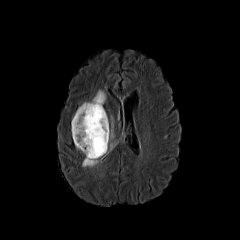
FLAIR MRI.
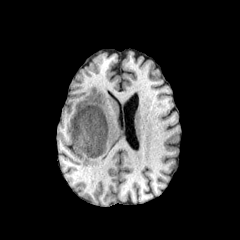
T1-weighted MR image of the same slice.
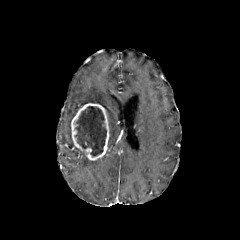
Post-contrast T1-weighted MRI.
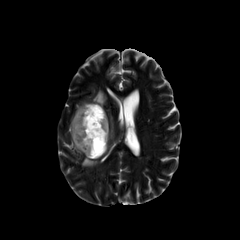
T2-weighted MRI of the same slice.
Head, Axial slice, 240x240 px
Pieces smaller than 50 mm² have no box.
Segmented structures:
• enhancing tumor: l=71, t=103, r=109, b=160
• necrotic tumor core: l=75, t=106, r=106, b=156
• peritumoral edema: l=108, t=116, r=114, b=149; l=82, t=155, r=104, b=167; l=83, t=90, r=106, b=105